Axial plane. Brain. 240x240 px. Image width 240 mm.
FLAIR magnetic resonance.
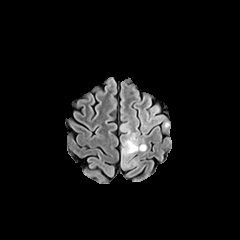
T1-weighted MRI.
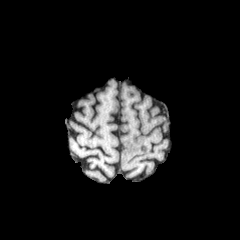
Post-contrast T1-weighted magnetic resonance.
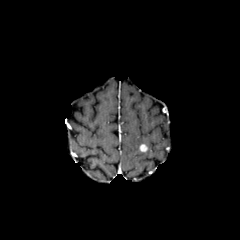
T2-weighted magnetic resonance.
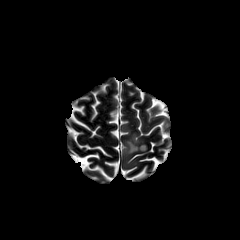
peritumoral edema: (121, 124, 130, 135), (121, 133, 138, 162) | enhancing tumor: (139, 144, 147, 152)